Slice index 83
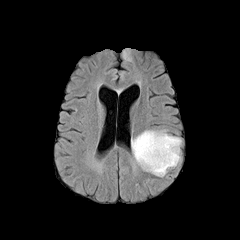
FLAIR magnetic resonance.
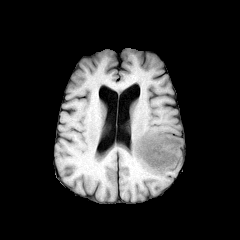
Same slice, T1-weighted MRI.
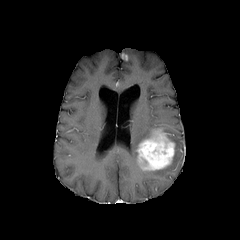
Same slice, post-contrast T1-weighted MR.
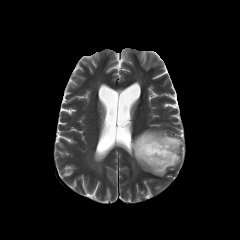
Same slice, T2-weighted magnetic resonance.
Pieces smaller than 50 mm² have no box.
{"peritumoral_edema": ["(147, 134, 181, 176)", "(122, 50, 131, 60)", "(131, 130, 152, 161)"], "enhancing_tumor": ["(136, 129, 175, 170)"]}